Slice index 62
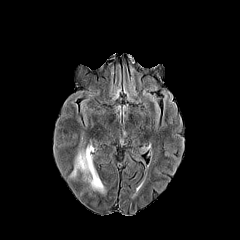
FLAIR MR.
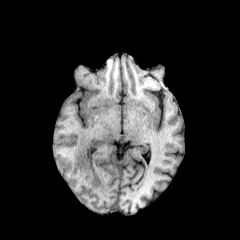
T1-weighted magnetic resonance.
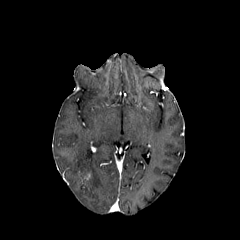
Post-contrast T1-weighted magnetic resonance of the same slice.
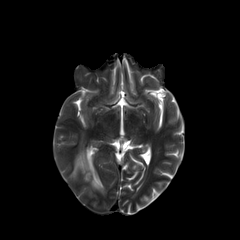
T2-weighted MR.
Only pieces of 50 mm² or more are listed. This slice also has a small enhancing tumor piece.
The peritumoral edema is bounded by [70,145,105,193].